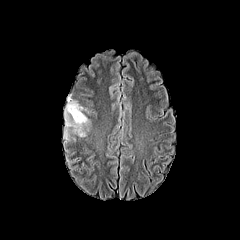
FLAIR magnetic resonance.
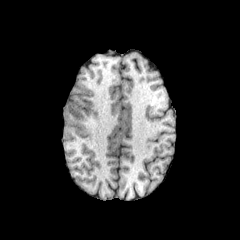
T1-weighted MR image.
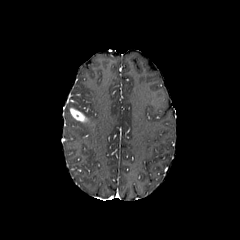
Same slice, post-contrast T1-weighted magnetic resonance.
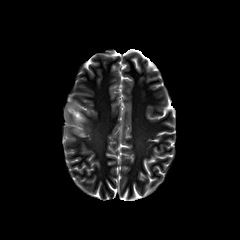
Same slice, T2-weighted MRI.
Axial view | Brain | Image size 240x240
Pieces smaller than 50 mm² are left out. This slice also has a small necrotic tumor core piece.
The peritumoral edema is bounded by 64 102 90 139. The enhancing tumor is bounded by 69 107 86 122.